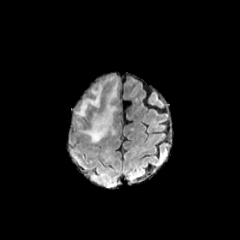
FLAIR MRI.
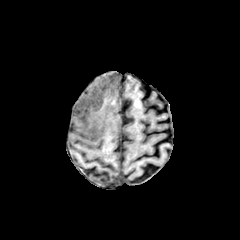
T1-weighted MRI.
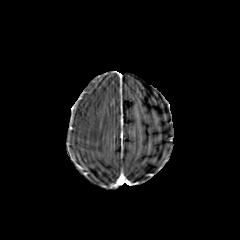
Post-contrast T1-weighted MRI.
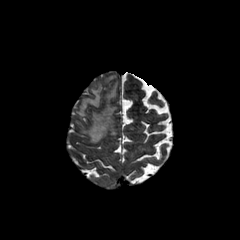
T2-weighted MR image.
Axial plane | 240x240 px
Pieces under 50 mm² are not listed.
peritumoral edema: (left=82, top=82, right=117, bottom=142), (left=77, top=85, right=101, bottom=116)